Head | Slice 64 of 155
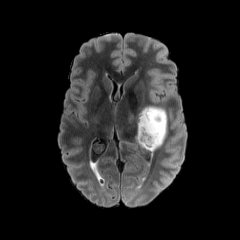
FLAIR MR.
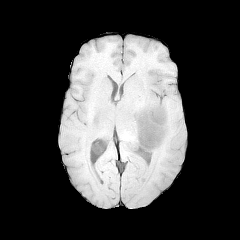
T1-weighted MRI.
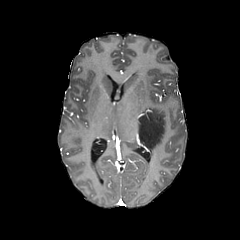
Post-contrast T1-weighted MR image.
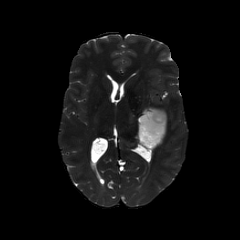
Same slice, T2-weighted MR.
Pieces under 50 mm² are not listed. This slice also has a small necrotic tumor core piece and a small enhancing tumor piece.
peritumoral edema: l=138, t=106, r=166, b=150